Axial slice. Slice 84 of 155.
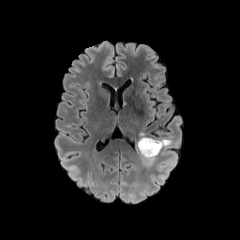
FLAIR MR image.
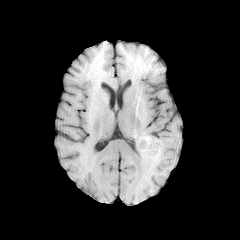
T1-weighted MR of the same slice.
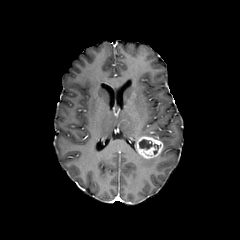
Same slice, post-contrast T1-weighted MR image.
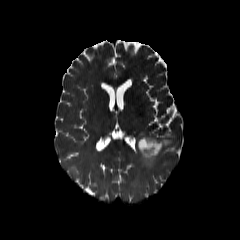
T2-weighted MR image of the same slice.
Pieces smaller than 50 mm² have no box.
Annotated regions:
- necrotic tumor core: x1=139 y1=139 x2=152 y2=149
- enhancing tumor: x1=136 y1=136 x2=163 y2=159
- peritumoral edema: x1=140 y1=156 x2=155 y2=167, x1=160 y1=139 x2=172 y2=147